FLAIR MR.
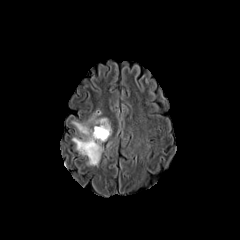
T1-weighted magnetic resonance.
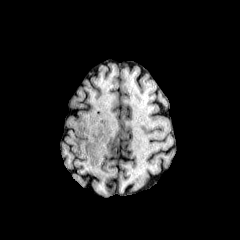
Post-contrast T1-weighted MR image.
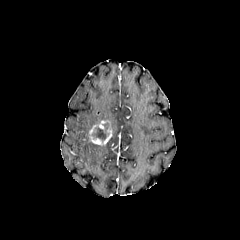
T2-weighted MR.
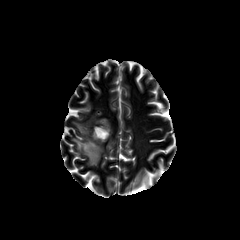
240x240 px; Axial slice
necrotic tumor core = (92, 123, 108, 140)
peritumoral edema = (72, 110, 107, 165)
enhancing tumor = (88, 120, 112, 145)